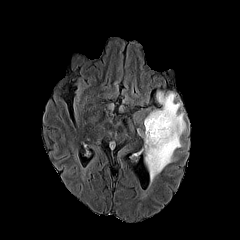
FLAIR MR.
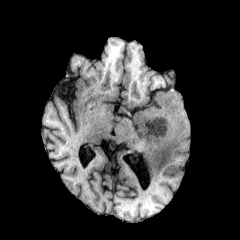
Same slice, T1-weighted magnetic resonance.
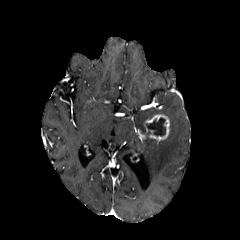
Post-contrast T1-weighted MR image of the same slice.
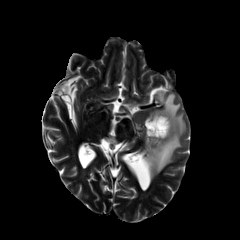
Same slice, T2-weighted MR image.
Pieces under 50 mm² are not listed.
{
  "enhancing_tumor": [
    {"x1": 144, "y1": 113, "x2": 170, "y2": 141}
  ],
  "necrotic_tumor_core": [
    {"x1": 146, "y1": 118, "x2": 165, "y2": 135}
  ],
  "peritumoral_edema": [
    {"x1": 145, "y1": 92, "x2": 186, "y2": 182}
  ]
}